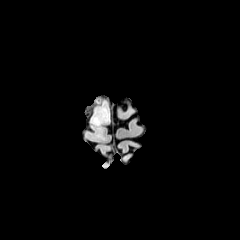
FLAIR MR image.
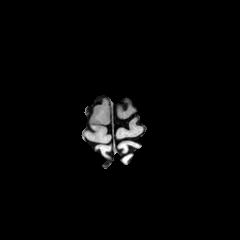
T1-weighted magnetic resonance of the same slice.
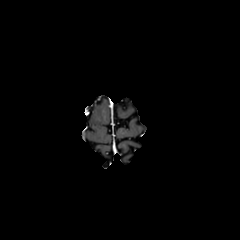
Same slice, post-contrast T1-weighted MR image.
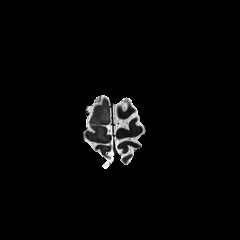
T2-weighted MR.
Axial view.
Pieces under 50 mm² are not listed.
peritumoral edema at box(92, 105, 109, 125)